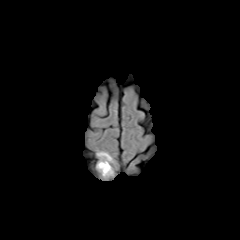
FLAIR magnetic resonance.
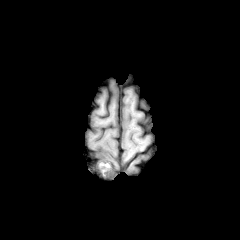
T1-weighted MR image.
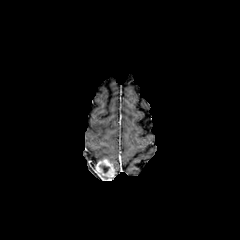
Post-contrast T1-weighted MR.
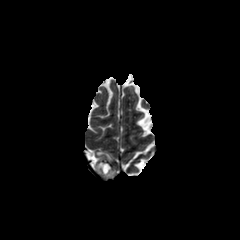
T2-weighted MR of the same slice.
Head.
necrotic tumor core = (99, 164, 109, 173)
enhancing tumor = (96, 159, 114, 177)
peritumoral edema = (97, 152, 112, 161)